240x240
FLAIR MR image.
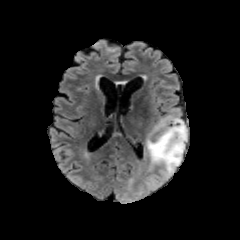
T1-weighted MRI.
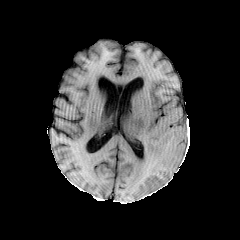
Post-contrast T1-weighted magnetic resonance.
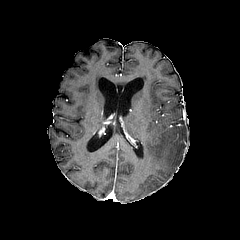
T2-weighted MRI.
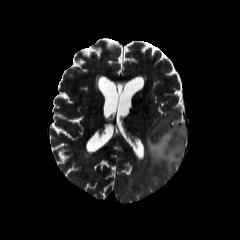
The peritumoral edema is located at left=145, top=116, right=187, bottom=174.